Brain
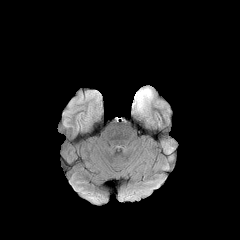
FLAIR magnetic resonance.
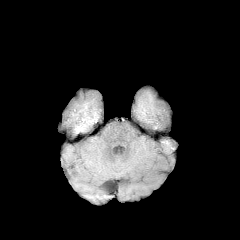
T1-weighted MR.
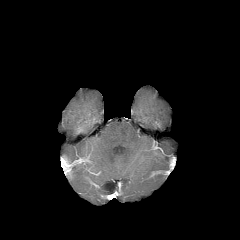
Same slice, post-contrast T1-weighted MR image.
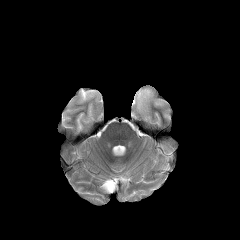
Same slice, T2-weighted MR.
peritumoral edema at [x1=133, y1=87, x2=153, y2=115]